FLAIR MRI.
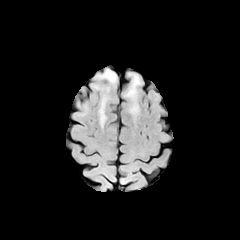
T1-weighted MRI.
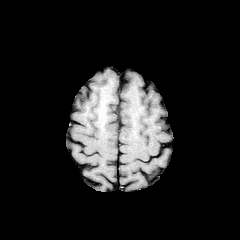
Post-contrast T1-weighted magnetic resonance.
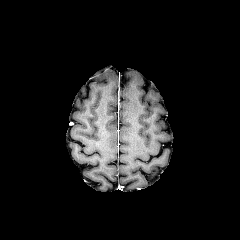
T2-weighted MR image.
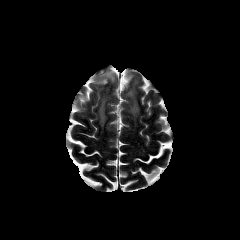
Axial slice; Head
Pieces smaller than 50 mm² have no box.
The 3 largest peritumoral edema regions are bounded by 124, 73, 140, 115; 98, 68, 116, 84; 99, 97, 106, 126.